FLAIR MRI.
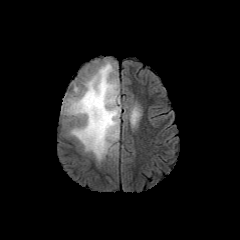
T1-weighted MR image.
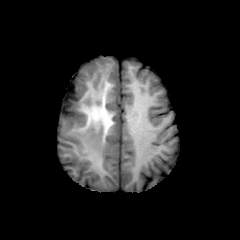
Post-contrast T1-weighted MR.
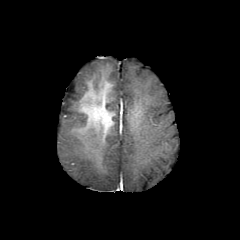
T2-weighted MRI.
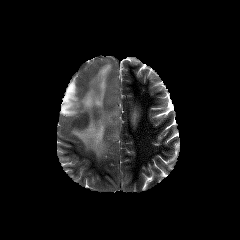
Brain; Axial view; 240x240 px
<segmentation>
  <peritumoral_edema>left=122, top=91, right=142, bottom=133; left=61, top=59, right=120, bottom=161</peritumoral_edema>
</segmentation>